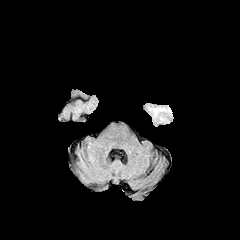
FLAIR magnetic resonance.
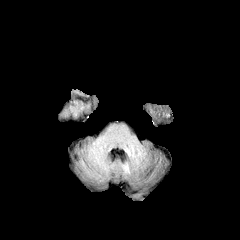
Same slice, T1-weighted magnetic resonance.
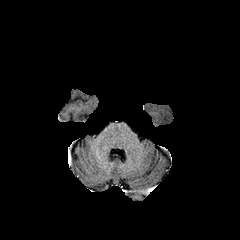
Post-contrast T1-weighted MR image of the same slice.
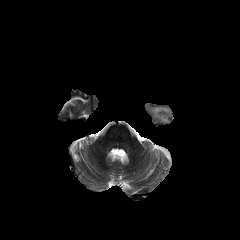
T2-weighted magnetic resonance.
Brain.
peritumoral edema at 149, 107, 171, 121